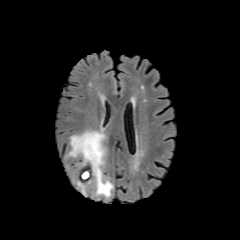
FLAIR MRI.
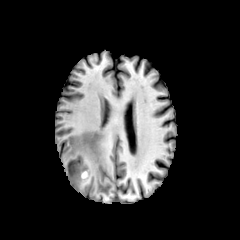
T1-weighted MRI.
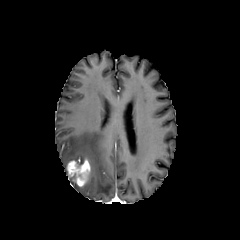
Same slice, post-contrast T1-weighted MRI.
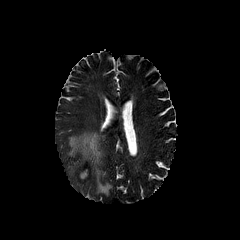
T2-weighted magnetic resonance of the same slice.
Head; Axial plane
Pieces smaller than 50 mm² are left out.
Findings:
* enhancing tumor: (x1=67, y1=158, x2=93, y2=186)
* peritumoral edema: (x1=67, y1=131, x2=113, y2=196)